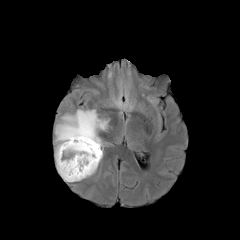
FLAIR magnetic resonance.
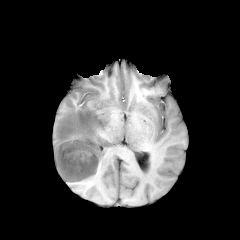
T1-weighted MR.
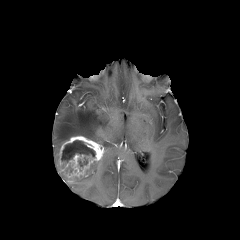
Same slice, post-contrast T1-weighted MR image.
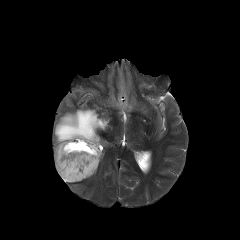
T2-weighted MRI.
Axial plane | Image size 240x240
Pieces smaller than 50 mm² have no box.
enhancing_tumor:
  - 56,136,103,182
peritumoral_edema:
  - 75,159,101,181
  - 54,109,109,163
necrotic_tumor_core:
  - 61,140,95,161